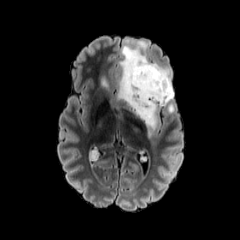
FLAIR magnetic resonance.
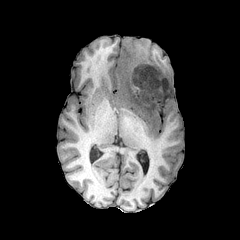
Same slice, T1-weighted MR.
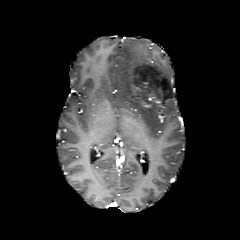
Post-contrast T1-weighted MR.
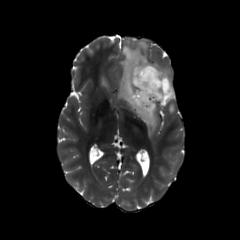
T2-weighted MR image.
Head
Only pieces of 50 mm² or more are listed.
3 peritumoral edema regions appear at region(100, 77, 108, 87); region(167, 103, 174, 113); region(117, 39, 174, 136). The 3 largest enhancing tumor regions are bounded by region(147, 90, 162, 106); region(130, 74, 142, 94); region(141, 101, 152, 108).